Slice 63/155
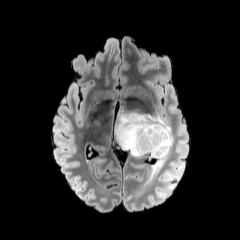
FLAIR MR image.
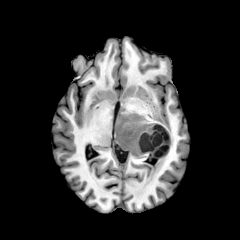
T1-weighted MR image.
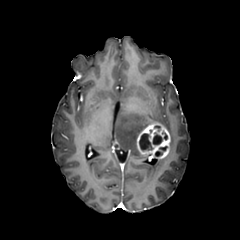
Post-contrast T1-weighted magnetic resonance of the same slice.
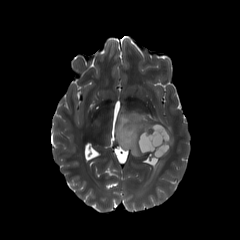
T2-weighted magnetic resonance.
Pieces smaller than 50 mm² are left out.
peritumoral edema: [115,112,173,156], [147,153,168,182]
enhancing tumor: [136,123,170,158]
necrotic tumor core: [155,146,167,156], [152,132,167,145], [139,133,153,150]